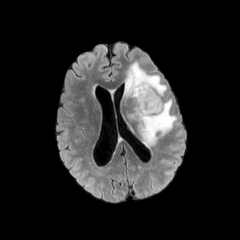
FLAIR magnetic resonance.
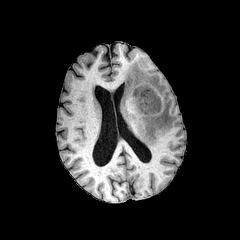
T1-weighted magnetic resonance.
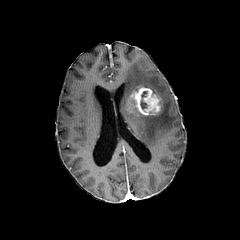
Same slice, post-contrast T1-weighted MR image.
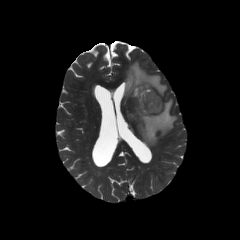
Same slice, T2-weighted MR image.
Axial view. 240x240 px.
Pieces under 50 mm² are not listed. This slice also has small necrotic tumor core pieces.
{
  "enhancing_tumor": [
    "(130, 86, 161, 115)"
  ],
  "peritumoral_edema": [
    "(124, 62, 166, 97)",
    "(129, 99, 176, 146)"
  ]
}